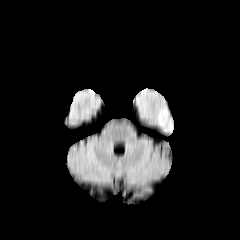
FLAIR MR.
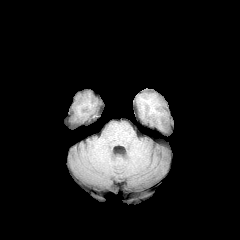
T1-weighted magnetic resonance.
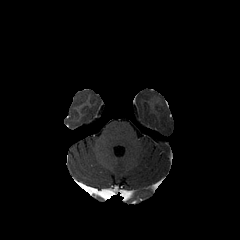
Post-contrast T1-weighted MRI.
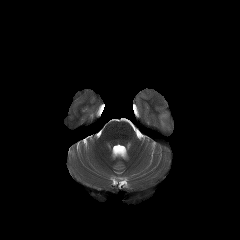
T2-weighted MR.
Head | Image size 240x240 | Axial plane
The peritumoral edema is at [x1=158, y1=112, x2=170, y2=129].